Image covers 240 mm x 240 mm; Brain; Slice 122 of 155; Image size 240x240
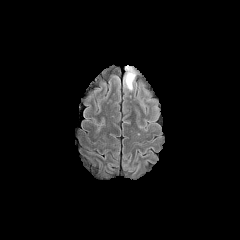
FLAIR MR.
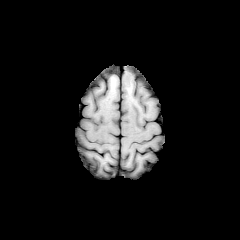
T1-weighted magnetic resonance of the same slice.
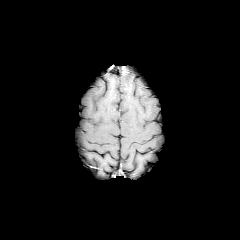
Post-contrast T1-weighted magnetic resonance.
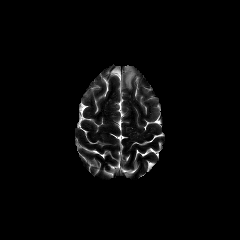
T2-weighted magnetic resonance of the same slice.
The peritumoral edema is at left=123, top=65, right=135, bottom=90.